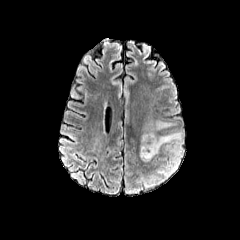
FLAIR magnetic resonance.
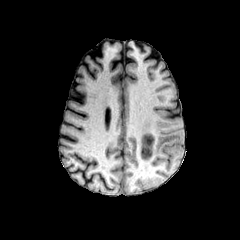
T1-weighted MRI of the same slice.
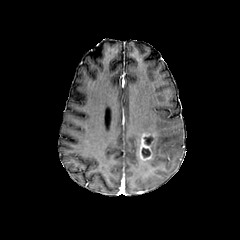
Post-contrast T1-weighted MRI.
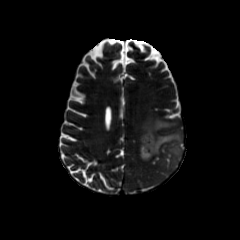
T2-weighted MR.
Axial plane, 240x240 px
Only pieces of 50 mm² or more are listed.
enhancing tumor: <bbox>139, 132, 155, 160</bbox>
necrotic tumor core: <bbox>144, 136, 152, 145</bbox>, <bbox>142, 148, 150, 157</bbox>
peritumoral edema: <bbox>143, 118, 183, 170</bbox>